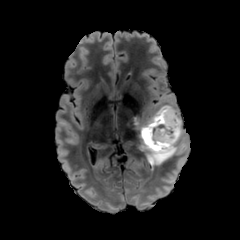
FLAIR MRI.
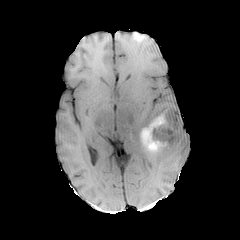
T1-weighted MRI of the same slice.
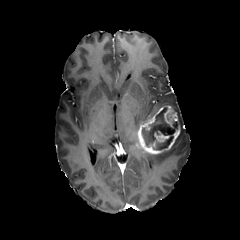
Post-contrast T1-weighted MRI.
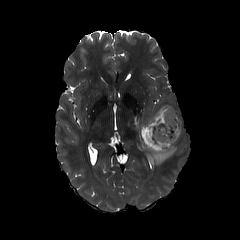
Same slice, T2-weighted MR.
Axial plane, Brain, 240x240
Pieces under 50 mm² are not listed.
The largest necrotic tumor core region is at [142,109,178,149]. The 2 largest peritumoral edema regions are bounded by [144,103,184,165], [133,117,145,139]. The enhancing tumor is located at [137,105,180,154].